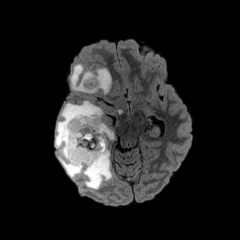
FLAIR magnetic resonance.
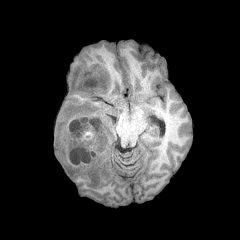
T1-weighted MR.
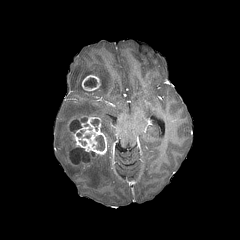
Same slice, post-contrast T1-weighted magnetic resonance.
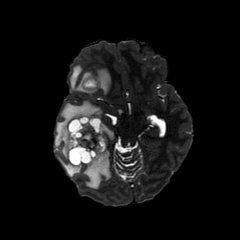
T2-weighted MR image.
Head.
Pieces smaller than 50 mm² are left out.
The 5 largest necrotic tumor core regions appear at rect(70, 147, 95, 164); rect(91, 119, 99, 130); rect(70, 117, 87, 132); rect(84, 78, 97, 87); rect(95, 135, 104, 150). The 3 largest peritumoral edema regions are located at rect(70, 64, 111, 93); rect(55, 100, 111, 189); rect(101, 122, 114, 139). The 2 largest enhancing tumor regions appear at rect(67, 116, 107, 165); rect(81, 74, 100, 91).